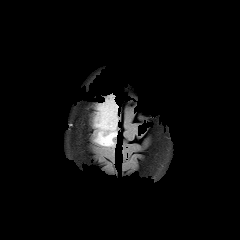
FLAIR MR image.
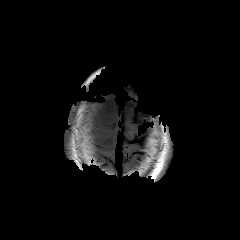
T1-weighted MR of the same slice.
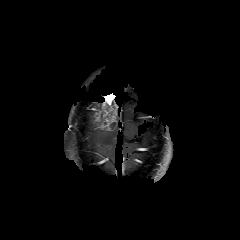
Post-contrast T1-weighted MRI.
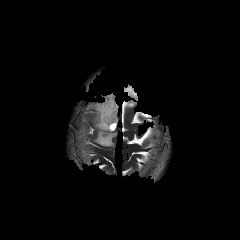
T2-weighted MRI of the same slice.
Axial plane. Brain.
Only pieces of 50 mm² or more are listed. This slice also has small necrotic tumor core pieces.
enhancing tumor: bounding box bbox(94, 94, 117, 130)
peritumoral edema: bounding box bbox(94, 128, 117, 146)